Brain. Slice 91/155. Image covers 240 mm x 240 mm.
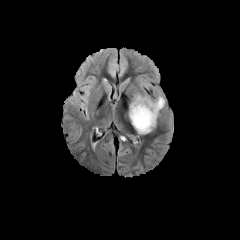
FLAIR MRI.
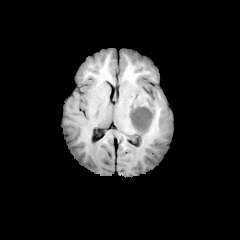
Same slice, T1-weighted MR.
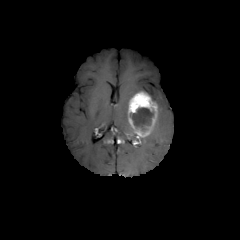
Post-contrast T1-weighted MRI.
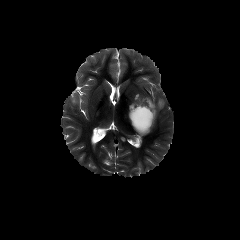
T2-weighted MR image of the same slice.
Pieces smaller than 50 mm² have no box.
enhancing_tumor:
  - 128:92:157:137
necrotic_tumor_core:
  - 132:108:152:125
peritumoral_edema:
  - 155:96:164:115